Brain. Axial slice.
FLAIR MRI.
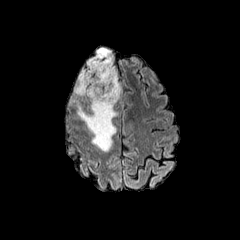
T1-weighted MR image.
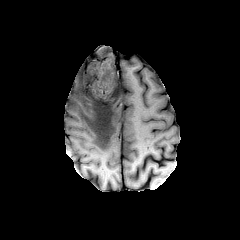
Post-contrast T1-weighted MR.
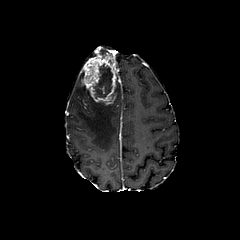
T2-weighted MR.
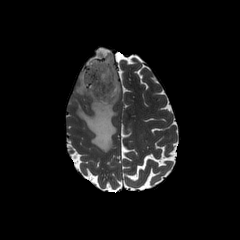
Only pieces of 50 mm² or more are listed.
peritumoral edema at [71, 71, 121, 151], [88, 47, 109, 62]
necrotic tumor core at [93, 64, 112, 98]
enhancing tumor at [81, 51, 118, 105]